FLAIR MRI.
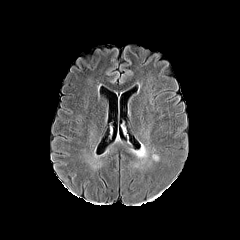
T1-weighted MRI.
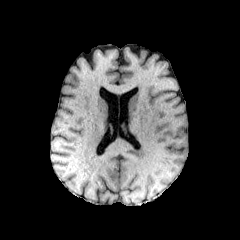
Post-contrast T1-weighted MR.
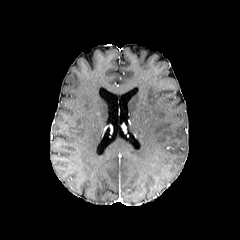
T2-weighted magnetic resonance.
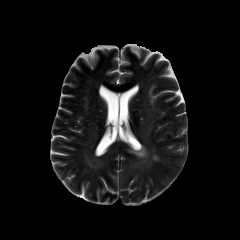
Brain
Segmented structures:
- peritumoral edema: [152,154,159,161], [133,145,148,163]